Brain
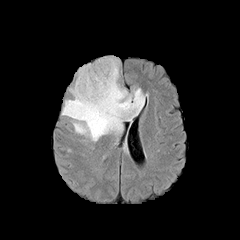
FLAIR magnetic resonance.
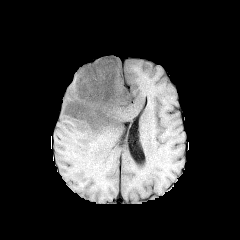
Same slice, T1-weighted MRI.
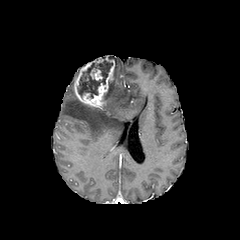
Same slice, post-contrast T1-weighted magnetic resonance.
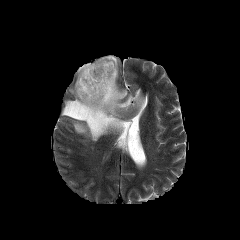
T2-weighted magnetic resonance of the same slice.
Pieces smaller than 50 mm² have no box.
The largest peritumoral edema region appears at region(62, 57, 144, 141). 2 enhancing tumor regions are bounded by region(90, 68, 102, 80); region(74, 56, 114, 109). The necrotic tumor core is at region(77, 61, 112, 98).